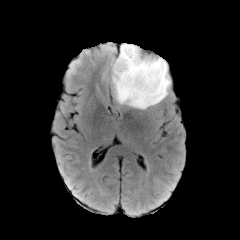
FLAIR MRI.
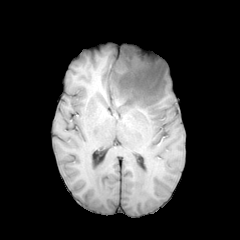
T1-weighted MRI of the same slice.
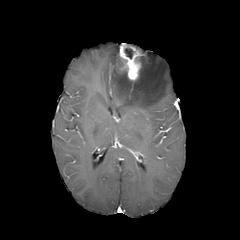
Post-contrast T1-weighted MR.
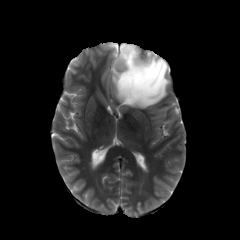
T2-weighted MR image of the same slice.
Axial view. Head. Image size 240x240.
Annotated regions:
- necrotic tumor core: (x1=125, y1=48, x2=133, y2=58)
- enhancing tumor: (x1=119, y1=43, x2=141, y2=80)
- peritumoral edema: (x1=112, y1=56, x2=170, y2=108)